FLAIR magnetic resonance.
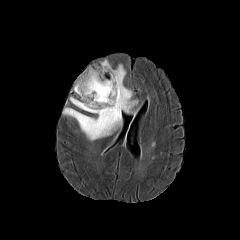
T1-weighted MR image.
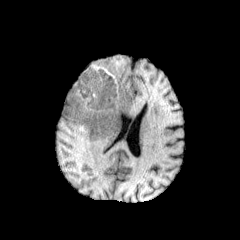
Post-contrast T1-weighted magnetic resonance.
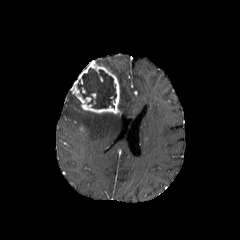
T2-weighted magnetic resonance.
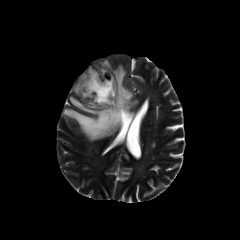
Axial view. Head.
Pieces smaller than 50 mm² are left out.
- necrotic tumor core: left=77, top=68, right=116, bottom=108
- peritumoral edema: left=100, top=59, right=137, bottom=114; left=69, top=96, right=81, bottom=108; left=62, top=107, right=122, bottom=140
- enhancing tumor: left=71, top=62, right=120, bottom=114